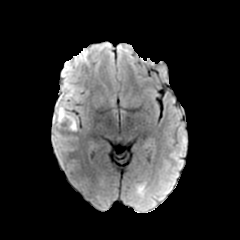
FLAIR MRI.
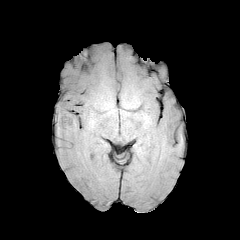
T1-weighted MR image.
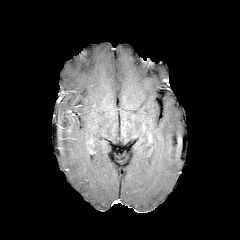
Post-contrast T1-weighted MRI.
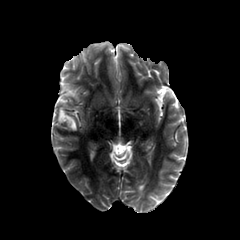
T2-weighted magnetic resonance.
240x240 px. Axial view.
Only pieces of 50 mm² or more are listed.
<segmentation>
  <enhancing_tumor>box=[57, 113, 74, 131]</enhancing_tumor>
  <peritumoral_edema>box=[71, 116, 77, 131]; box=[54, 108, 68, 126]</peritumoral_edema>
  <necrotic_tumor_core>box=[59, 112, 71, 129]</necrotic_tumor_core>
</segmentation>